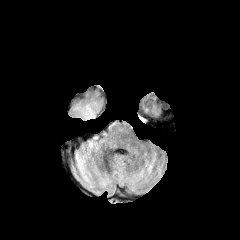
FLAIR MR image.
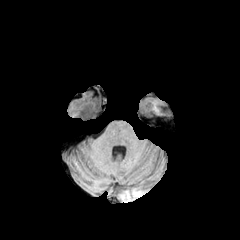
T1-weighted MRI of the same slice.
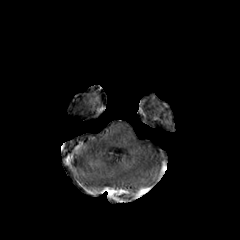
Post-contrast T1-weighted MR.
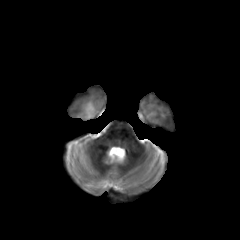
T2-weighted MRI of the same slice.
Head
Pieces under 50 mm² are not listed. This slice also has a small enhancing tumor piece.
peritumoral edema: box(75, 101, 94, 119) | necrotic tumor core: box(90, 102, 98, 115)